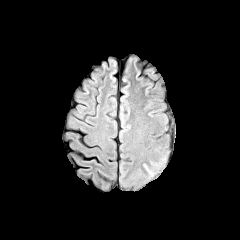
FLAIR magnetic resonance.
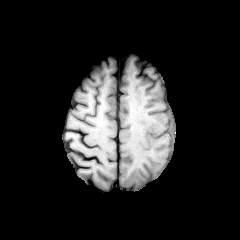
T1-weighted MR.
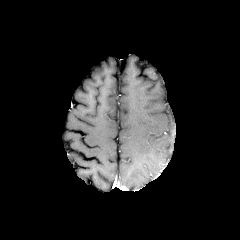
Post-contrast T1-weighted MR image.
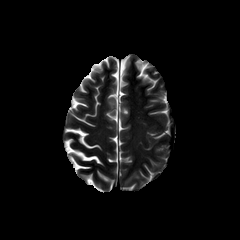
T2-weighted MR image of the same slice.
Axial view; Head
The peritumoral edema appears at region(142, 161, 160, 178).